FLAIR magnetic resonance.
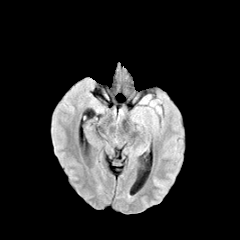
T1-weighted MRI.
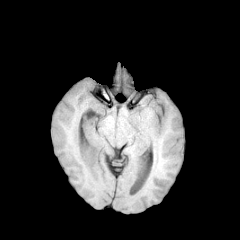
Post-contrast T1-weighted magnetic resonance.
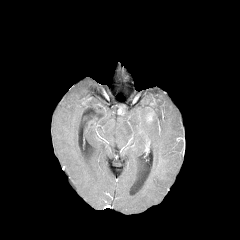
T2-weighted MRI.
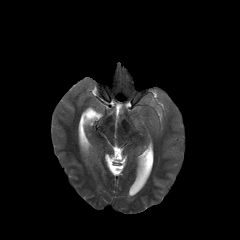
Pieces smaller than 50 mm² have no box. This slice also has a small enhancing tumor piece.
The largest peritumoral edema region lies within 150 101 160 113.